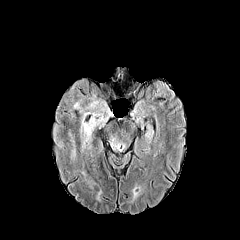
FLAIR MR.
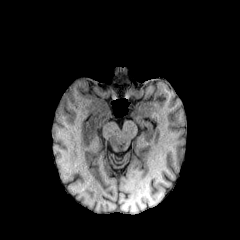
T1-weighted MRI.
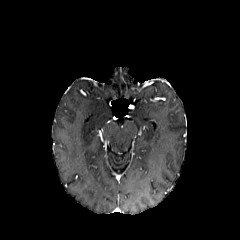
Same slice, post-contrast T1-weighted MR.
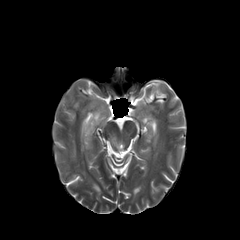
T2-weighted MRI.
Axial view; 240x240
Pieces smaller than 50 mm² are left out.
Annotated regions:
* peritumoral edema: (80, 101, 108, 151), (70, 144, 76, 160), (110, 137, 121, 151)